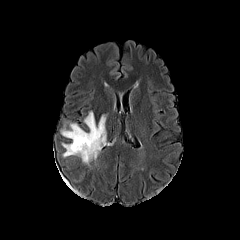
FLAIR magnetic resonance.
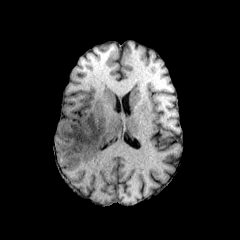
Same slice, T1-weighted MR.
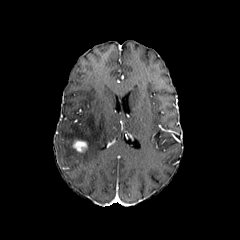
Same slice, post-contrast T1-weighted MR.
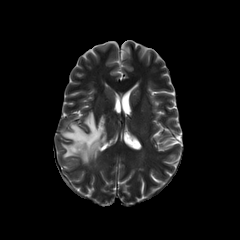
Same slice, T2-weighted MRI.
peritumoral edema: x1=60 y1=111 x2=106 y2=165 | enhancing tumor: x1=73 y1=139 x2=87 y2=152